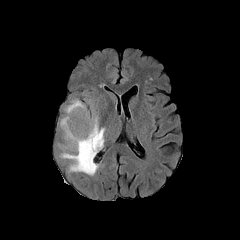
FLAIR MRI.
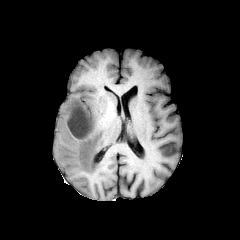
Same slice, T1-weighted magnetic resonance.
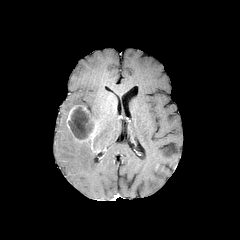
Same slice, post-contrast T1-weighted MR image.
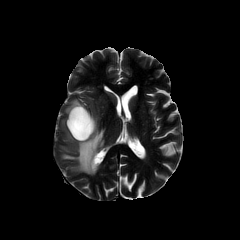
T2-weighted magnetic resonance.
Axial view | Brain
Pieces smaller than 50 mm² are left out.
necrotic_tumor_core:
  - {"x1": 68, "y1": 106, "x2": 93, "y2": 139}
peritumoral_edema:
  - {"x1": 60, "y1": 99, "x2": 105, "y2": 175}
enhancing_tumor:
  - {"x1": 66, "y1": 106, "x2": 96, "y2": 141}